FLAIR MRI.
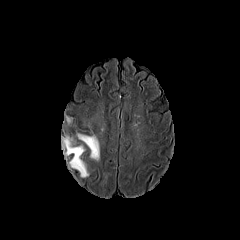
T1-weighted MR.
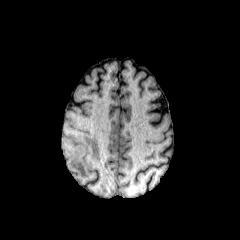
Post-contrast T1-weighted MRI.
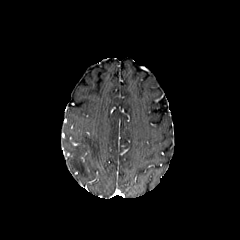
T2-weighted MR.
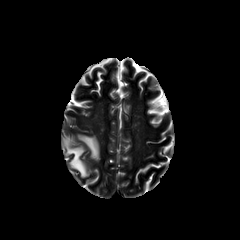
Brain
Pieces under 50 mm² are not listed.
The 2 largest peritumoral edema regions are bounded by 77,133,99,160; 62,135,88,177.